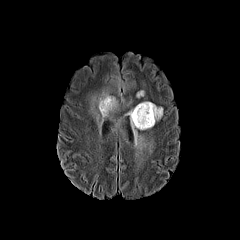
FLAIR magnetic resonance.
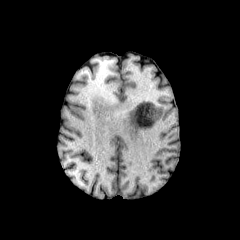
T1-weighted MR image.
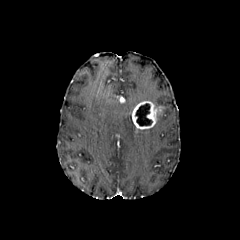
Post-contrast T1-weighted MR.
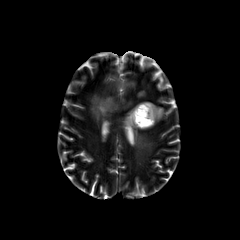
T2-weighted MRI.
240x240; Axial plane
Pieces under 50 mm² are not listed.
enhancing_tumor:
  - (x1=131, y1=101, x2=161, y2=129)
necrotic_tumor_core:
  - (x1=135, y1=103, x2=152, y2=126)
peritumoral_edema:
  - (x1=126, y1=109, x2=146, y2=148)
  - (x1=97, y1=93, x2=116, y2=117)